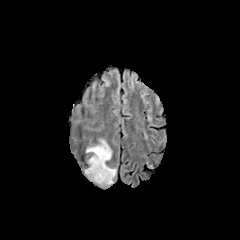
FLAIR MR.
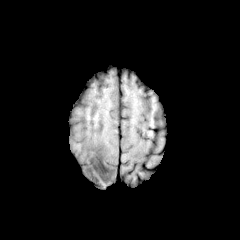
T1-weighted MR image.
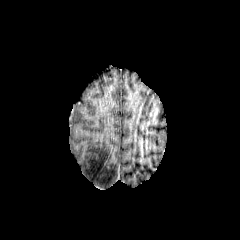
Post-contrast T1-weighted magnetic resonance.
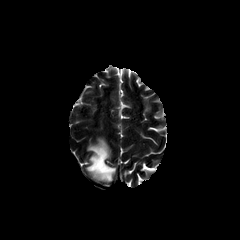
T2-weighted MR image.
Image size 240x240
The peritumoral edema is located at x1=85, y1=139, x2=116, y2=184.